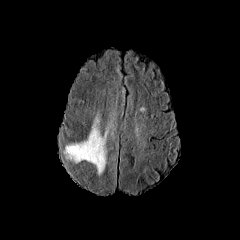
FLAIR magnetic resonance.
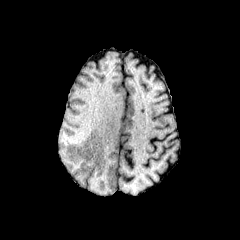
T1-weighted MR image.
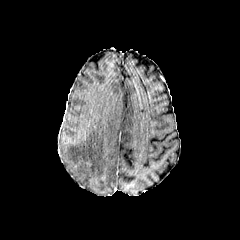
Post-contrast T1-weighted MRI of the same slice.
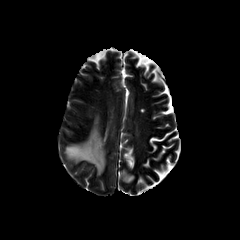
Same slice, T2-weighted MR image.
Axial slice | 240x240 | Head
peritumoral edema = (x1=64, y1=115, x2=108, y2=174)